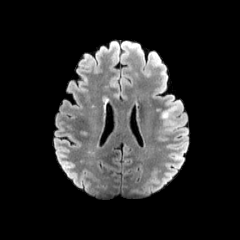
FLAIR MR image.
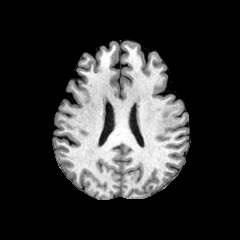
T1-weighted magnetic resonance of the same slice.
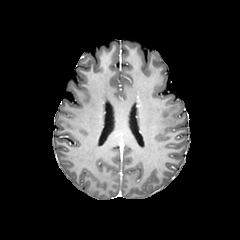
Post-contrast T1-weighted magnetic resonance.
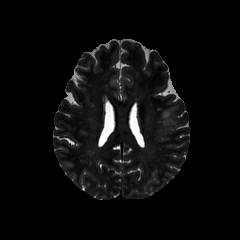
T2-weighted magnetic resonance.
Head
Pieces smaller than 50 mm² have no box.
The largest peritumoral edema region appears at x1=162 y1=107 x2=177 y2=125.